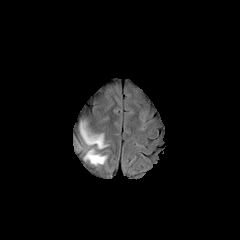
FLAIR magnetic resonance.
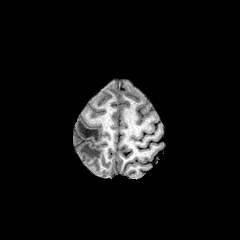
T1-weighted MR of the same slice.
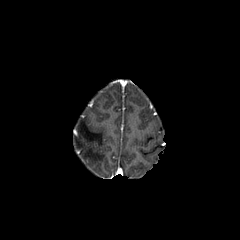
Same slice, post-contrast T1-weighted MR image.
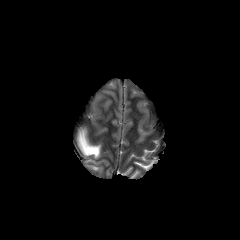
Same slice, T2-weighted MR.
Axial plane. Brain.
- peritumoral edema: 78, 123, 105, 165